FLAIR MR image.
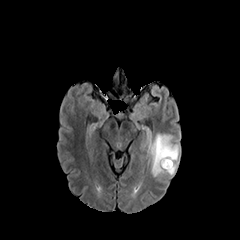
T1-weighted magnetic resonance.
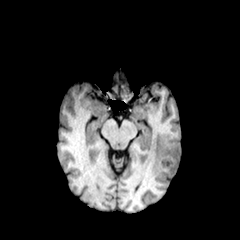
Post-contrast T1-weighted MR image.
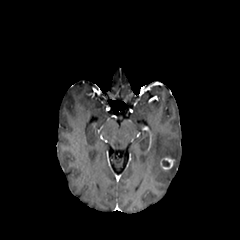
T2-weighted MR.
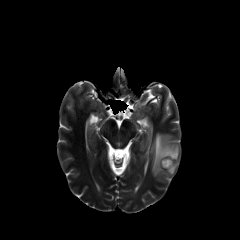
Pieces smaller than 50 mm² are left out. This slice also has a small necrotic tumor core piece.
The peritumoral edema is at <box>151,133,180,179</box>. The enhancing tumor lies within <box>160,157,174,169</box>.